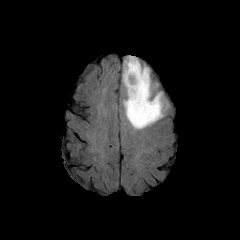
FLAIR MRI.
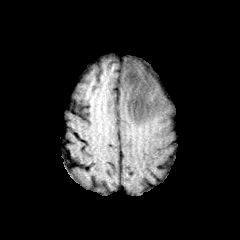
Same slice, T1-weighted MRI.
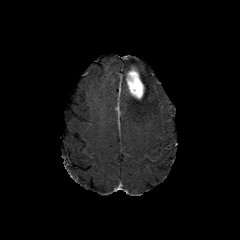
Post-contrast T1-weighted magnetic resonance.
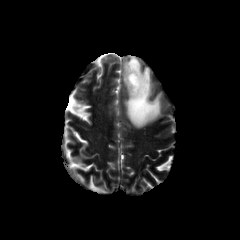
T2-weighted MRI of the same slice.
Axial slice
The enhancing tumor is bounded by <bbox>125, 65, 144, 99</bbox>. The peritumoral edema is located at <bbox>123, 56, 163, 128</bbox>.